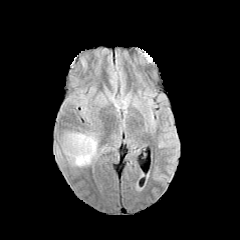
FLAIR magnetic resonance.
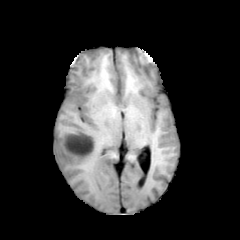
T1-weighted MR.
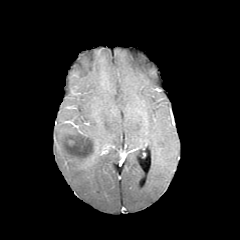
Post-contrast T1-weighted MRI.
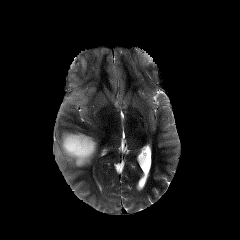
T2-weighted MRI.
Image size 240x240 | Brain
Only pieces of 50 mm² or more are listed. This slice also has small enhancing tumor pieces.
The peritumoral edema is bounded by x1=56 y1=132 x2=98 y2=167.